Slice 59 of 155; Head
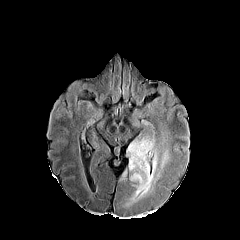
FLAIR magnetic resonance.
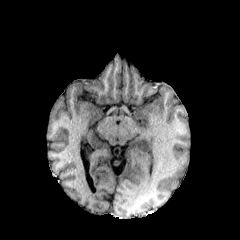
T1-weighted magnetic resonance.
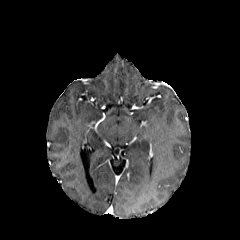
Post-contrast T1-weighted MRI.
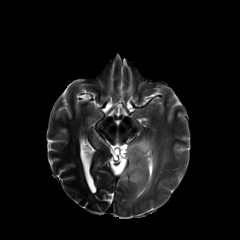
T2-weighted MR.
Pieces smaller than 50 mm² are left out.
peritumoral edema = {"x1": 128, "y1": 138, "x2": 157, "y2": 200}, {"x1": 161, "y1": 151, "x2": 168, "y2": 166}